FLAIR magnetic resonance.
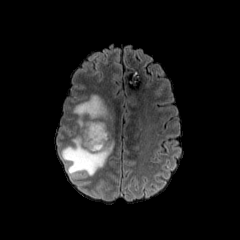
T1-weighted MR.
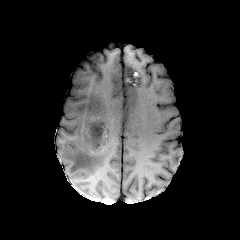
Post-contrast T1-weighted MR.
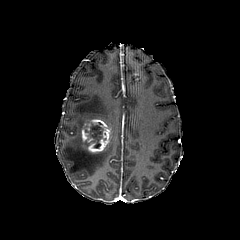
T2-weighted MR image.
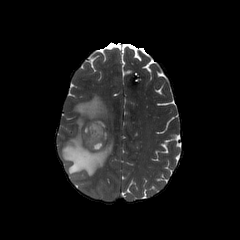
Head; Image size 240x240; Axial view
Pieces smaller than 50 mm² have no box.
enhancing tumor: bbox(82, 119, 110, 152) | peritumoral edema: bbox(61, 94, 118, 175) | necrotic tumor core: bbox(85, 123, 103, 148)